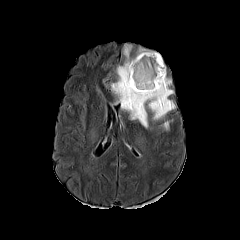
FLAIR magnetic resonance.
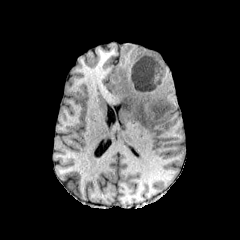
Same slice, T1-weighted MR.
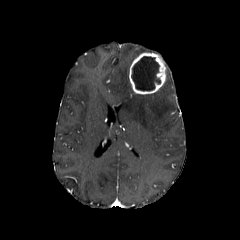
Post-contrast T1-weighted MR image.
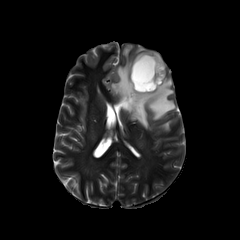
T2-weighted MR of the same slice.
Axial plane | 240x240
enhancing tumor: (x1=129, y1=52, x2=166, y2=94)
necrotic tumor core: (x1=131, y1=56, x2=160, y2=90)
peritumoral edema: (x1=111, y1=44, x2=175, y2=129), (x1=159, y1=120, x2=172, y2=131)